FLAIR magnetic resonance.
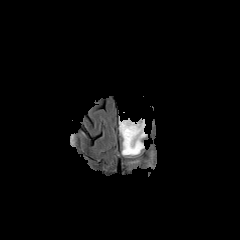
T1-weighted MR.
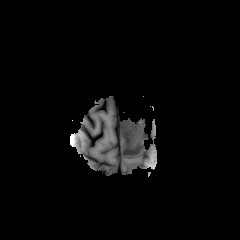
Post-contrast T1-weighted magnetic resonance.
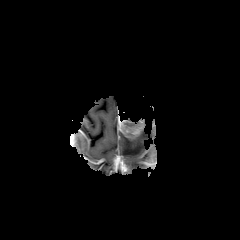
T2-weighted magnetic resonance.
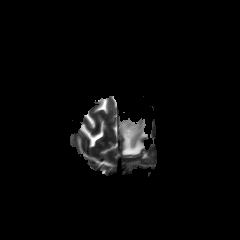
Axial plane
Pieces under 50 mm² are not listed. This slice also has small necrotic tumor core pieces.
The enhancing tumor is bounded by (x1=118, y1=116, x2=144, y2=138). The peritumoral edema appears at (x1=120, y1=129, x2=147, y2=156).